FLAIR MR image.
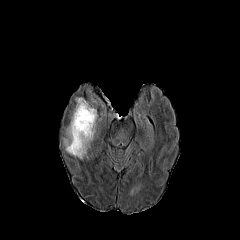
T1-weighted MR.
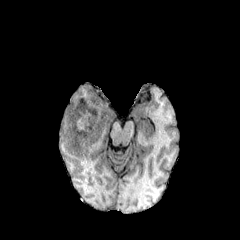
Post-contrast T1-weighted MR.
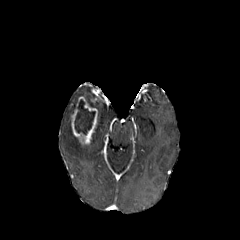
T2-weighted magnetic resonance.
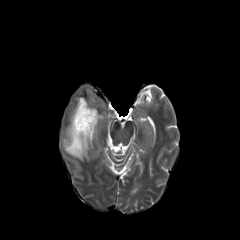
Head.
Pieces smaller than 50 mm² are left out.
<segmentation>
  <peritumoral_edema>{"x1": 63, "y1": 123, "x2": 87, "y2": 159}</peritumoral_edema>
  <enhancing_tumor>{"x1": 71, "y1": 97, "x2": 97, "y2": 145}</enhancing_tumor>
  <necrotic_tumor_core>{"x1": 74, "y1": 99, "x2": 95, "y2": 134}</necrotic_tumor_core>
</segmentation>